FLAIR MR image.
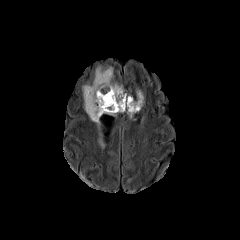
T1-weighted MR image.
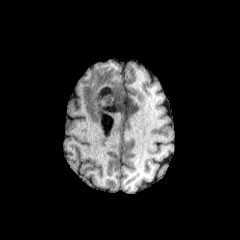
Post-contrast T1-weighted MR.
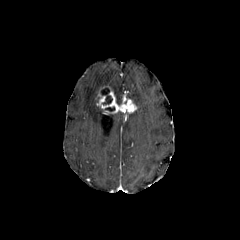
T2-weighted MRI.
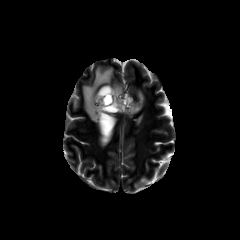
Image size 240x240. Brain.
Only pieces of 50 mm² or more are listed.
Segmented structures:
* peritumoral edema: (82, 66, 123, 124), (126, 90, 143, 117)
* necrotic tumor core: (101, 87, 112, 104)
* enhancing tumor: (96, 86, 137, 113)